240x240 px, Slice 127 of 155, Brain
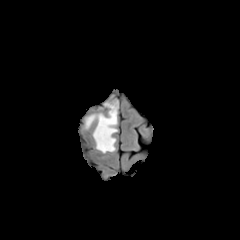
FLAIR MR.
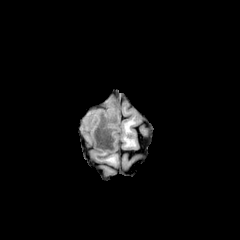
T1-weighted magnetic resonance.
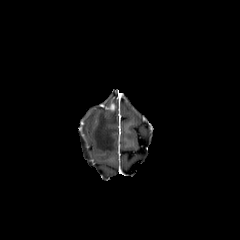
Post-contrast T1-weighted MR.
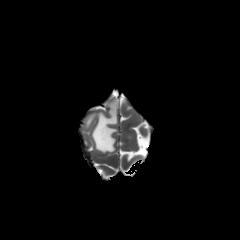
T2-weighted MRI.
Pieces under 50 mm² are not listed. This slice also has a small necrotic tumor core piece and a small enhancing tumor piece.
Segmented structures:
* peritumoral edema: <box>86,107,117,153</box>